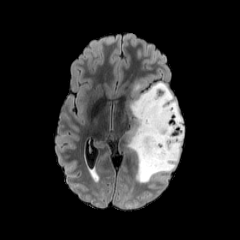
FLAIR MR image.
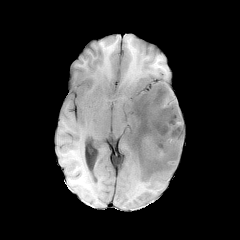
T1-weighted MRI.
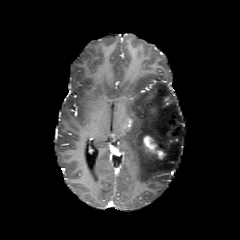
Post-contrast T1-weighted MRI of the same slice.
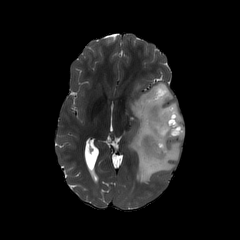
T2-weighted MRI.
Image size 240x240
2 peritumoral edema regions are located at (128, 82, 184, 182), (133, 83, 143, 93). The enhancing tumor lies within (143, 135, 165, 158).